Head; Image size 240x240
FLAIR MR.
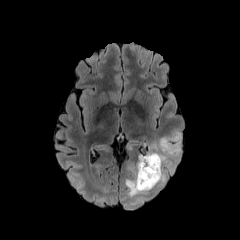
T1-weighted MR.
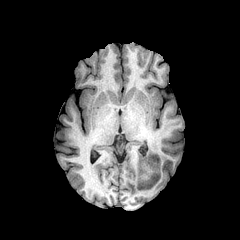
Post-contrast T1-weighted magnetic resonance.
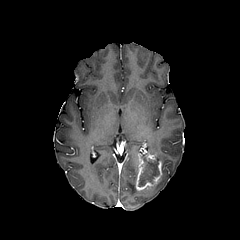
T2-weighted MRI.
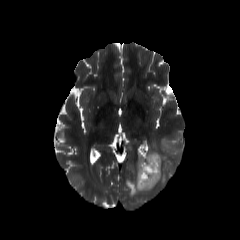
Annotated regions:
* enhancing tumor: box=[135, 153, 162, 190]
* peritumoral edema: box=[125, 130, 181, 196]
* necrotic tumor core: box=[138, 157, 159, 186]